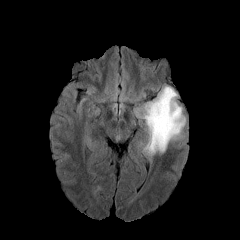
FLAIR MR image.
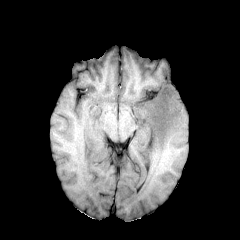
Same slice, T1-weighted MR.
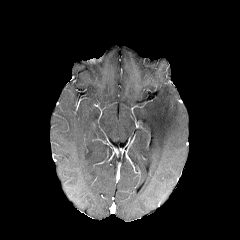
Post-contrast T1-weighted MRI.
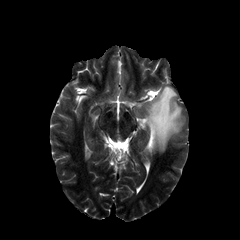
T2-weighted magnetic resonance.
240x240, Axial slice, Brain
peritumoral edema: box(134, 85, 185, 155)